Slice 41 of 155 | Brain | Axial plane
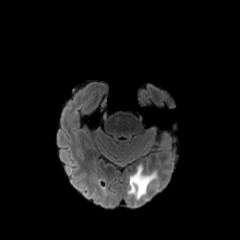
FLAIR magnetic resonance.
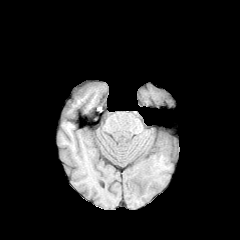
T1-weighted MR image of the same slice.
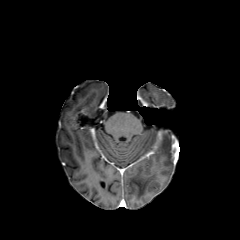
Post-contrast T1-weighted MR image.
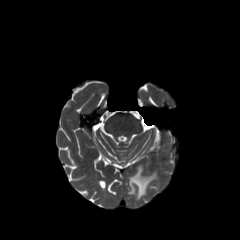
T2-weighted magnetic resonance of the same slice.
Findings:
- peritumoral edema: 128 165 156 199